FLAIR MRI.
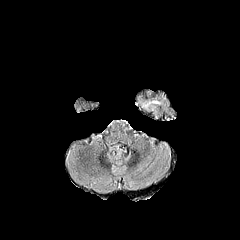
T1-weighted MRI.
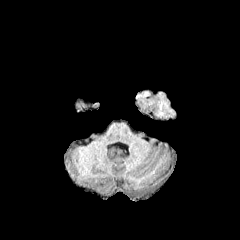
Post-contrast T1-weighted MRI.
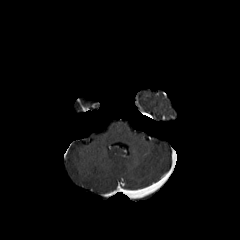
T2-weighted MR image.
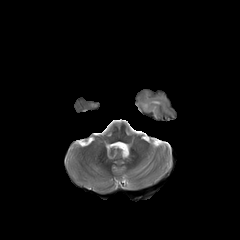
peritumoral edema at [138, 93, 168, 117]